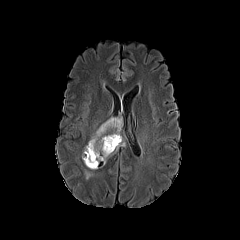
FLAIR MR.
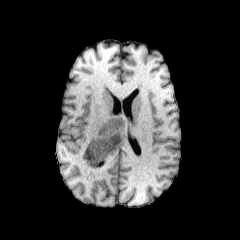
T1-weighted MR.
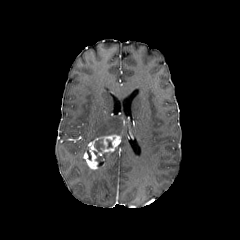
Post-contrast T1-weighted MR.
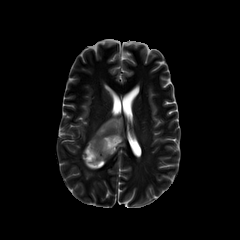
Same slice, T2-weighted MR.
Axial plane | Head
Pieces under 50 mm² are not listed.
{
  "peritumoral_edema": [
    "89, 117, 122, 142",
    "97, 153, 112, 162"
  ],
  "necrotic_tumor_core": [
    "95, 140, 104, 151"
  ],
  "enhancing_tumor": [
    "83, 134, 121, 169"
  ]
}